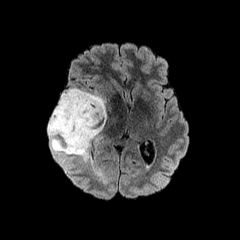
FLAIR MR.
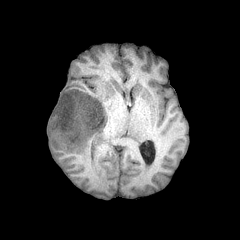
T1-weighted MRI.
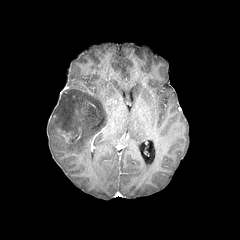
Post-contrast T1-weighted MR image.
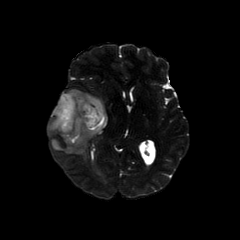
T2-weighted MRI of the same slice.
240x240.
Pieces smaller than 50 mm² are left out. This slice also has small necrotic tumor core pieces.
The peritumoral edema lies within [x1=48, y1=88, x2=106, y2=161]. The enhancing tumor lies within [x1=55, y1=127, x2=81, y2=143].